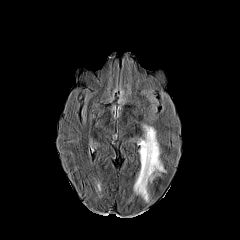
FLAIR MR image.
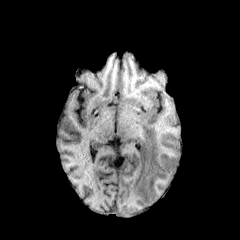
Same slice, T1-weighted MR image.
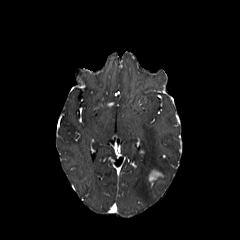
Post-contrast T1-weighted MR.
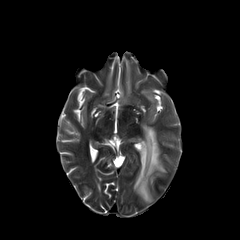
T2-weighted MR image.
Head
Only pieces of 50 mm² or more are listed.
enhancing tumor — {"x1": 149, "y1": 169, "x2": 162, "y2": 183}
peritumoral edema — {"x1": 133, "y1": 125, "x2": 165, "y2": 201}